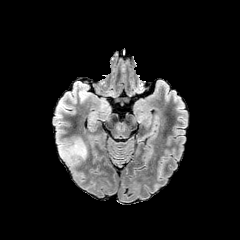
FLAIR MRI.
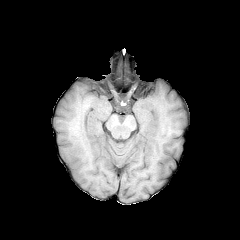
T1-weighted MR image.
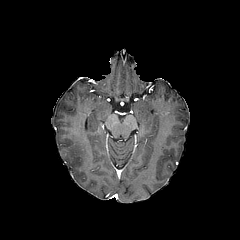
Same slice, post-contrast T1-weighted magnetic resonance.
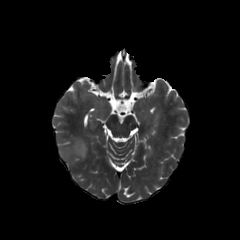
T2-weighted magnetic resonance.
Brain, 240x240
peritumoral edema: (x1=59, y1=139, x2=87, y2=165)